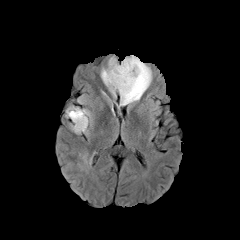
FLAIR MR.
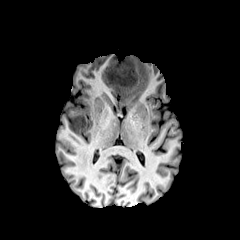
T1-weighted MRI.
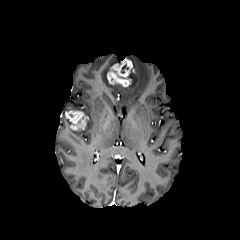
Post-contrast T1-weighted MRI of the same slice.
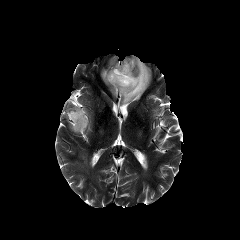
Same slice, T2-weighted MR.
240x240 px, Head, Axial slice
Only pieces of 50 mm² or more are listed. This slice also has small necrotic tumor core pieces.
enhancing tumor: bounding box (107,58,133,87), (65,110,87,130)
peritumoral edema: bounding box (101,55,151,105)